FLAIR MR image.
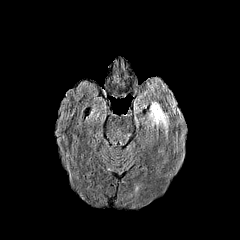
T1-weighted MRI.
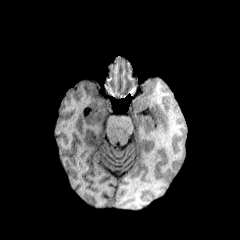
Post-contrast T1-weighted MRI.
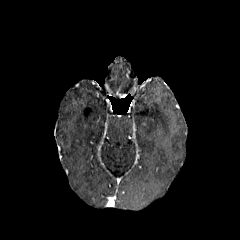
T2-weighted MR image.
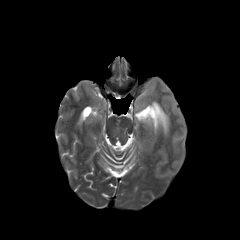
240x240; Axial plane
peritumoral edema at {"x1": 149, "y1": 102, "x2": 168, "y2": 134}